FLAIR MRI.
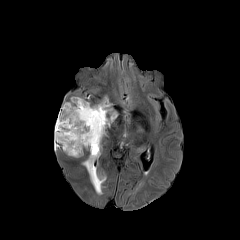
T1-weighted MRI.
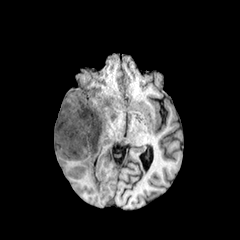
Post-contrast T1-weighted magnetic resonance.
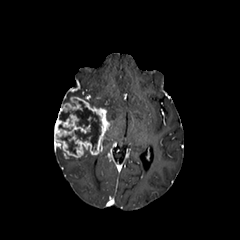
T2-weighted MR.
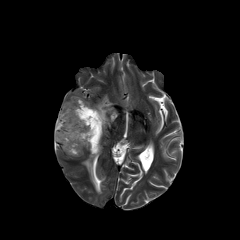
Axial slice
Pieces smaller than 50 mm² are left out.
enhancing tumor: [x1=54, y1=96, x2=110, y2=157] | peritumoral edema: [x1=63, y1=89, x2=85, y2=103], [x1=95, y1=96, x2=117, y2=123], [x1=82, y1=153, x2=105, y2=194] | necrotic tumor core: [x1=71, y1=101, x2=100, y2=149], [x1=60, y1=136, x2=76, y2=153], [x1=59, y1=111, x2=70, y2=121]